FLAIR MRI.
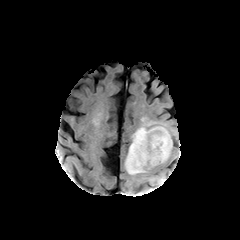
T1-weighted magnetic resonance.
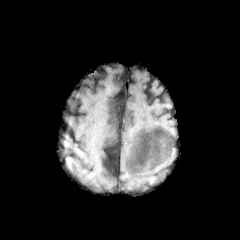
Post-contrast T1-weighted magnetic resonance.
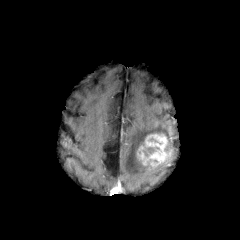
T2-weighted MR image.
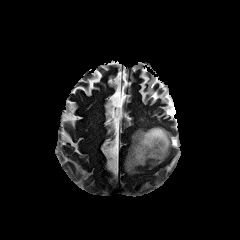
Brain. 240x240.
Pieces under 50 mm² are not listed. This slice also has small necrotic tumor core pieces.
{
  "peritumoral_edema": [
    "125,126,172,174"
  ],
  "enhancing_tumor": [
    "136,133,170,166"
  ]
}